FLAIR MRI.
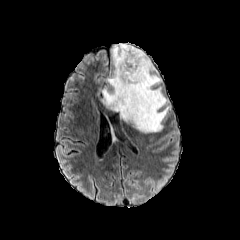
T1-weighted MRI.
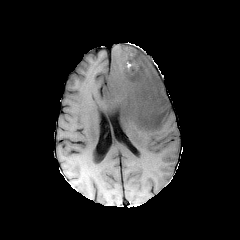
Post-contrast T1-weighted MR.
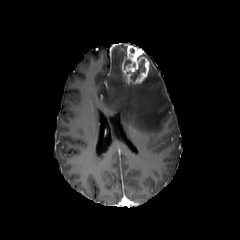
T2-weighted MRI.
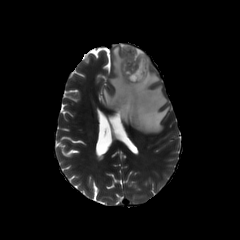
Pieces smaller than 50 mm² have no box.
{
  "enhancing_tumor": [
    "121:44:149:84"
  ],
  "peritumoral_edema": [
    "102:43:170:133"
  ],
  "necrotic_tumor_core": [
    "131:59:145:80"
  ]
}